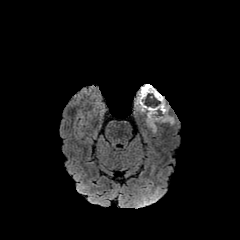
FLAIR MRI.
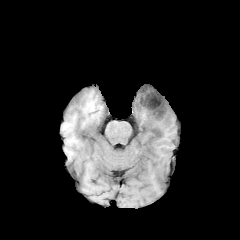
T1-weighted MR image.
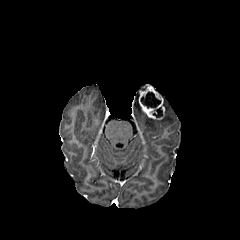
Post-contrast T1-weighted MR.
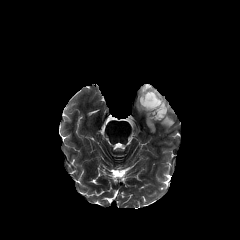
T2-weighted MR of the same slice.
240x240 px
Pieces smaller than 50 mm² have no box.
necrotic tumor core at 153 107 162 117, 144 92 160 107
peritumoral edema at 146 96 174 132, 135 93 143 112
enhancing tumor at 138 84 165 119